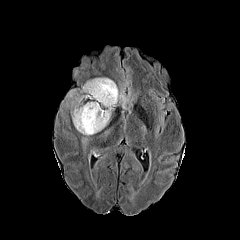
FLAIR MR image.
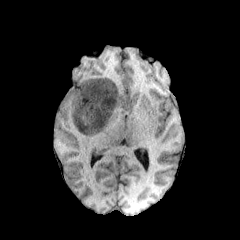
T1-weighted magnetic resonance of the same slice.
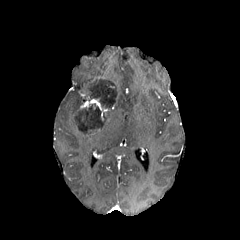
Post-contrast T1-weighted MR image.
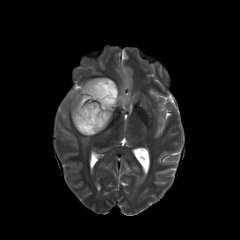
T2-weighted MRI.
Axial plane; 240x240
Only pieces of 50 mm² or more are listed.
The 4 largest peritumoral edema regions are bounded by 65, 90, 75, 106; 100, 110, 112, 130; 116, 87, 130, 109; 71, 97, 82, 125. The 2 largest necrotic tumor core regions appear at 75, 103, 106, 134; 82, 79, 118, 110. The largest enhancing tumor region appears at 80, 96, 110, 123.